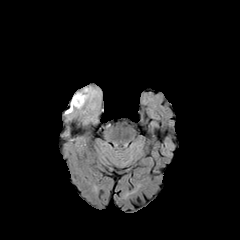
FLAIR MR image.
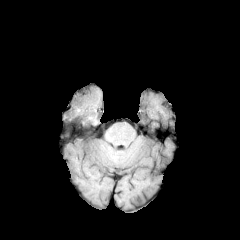
Same slice, T1-weighted MR.
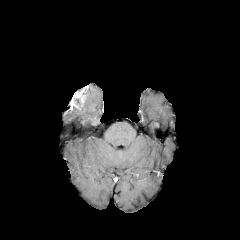
Post-contrast T1-weighted MR image.
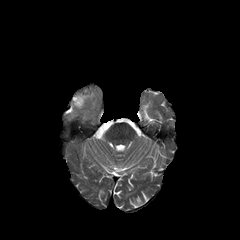
T2-weighted MR image.
Brain
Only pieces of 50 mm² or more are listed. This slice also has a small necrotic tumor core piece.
peritumoral_edema:
  - 82:89:98:107
enhancing_tumor:
  - 69:86:93:110